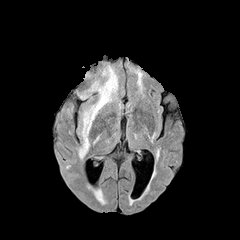
FLAIR magnetic resonance.
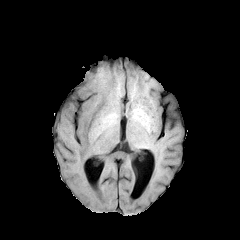
Same slice, T1-weighted MR image.
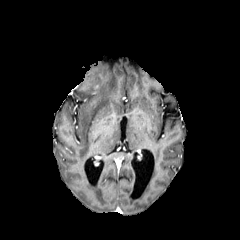
Post-contrast T1-weighted MR image of the same slice.
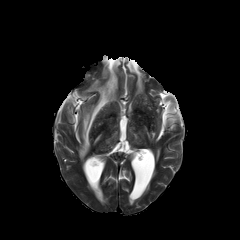
Same slice, T2-weighted magnetic resonance.
240x240 | Head
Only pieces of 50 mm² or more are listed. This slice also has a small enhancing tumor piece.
{
  "peritumoral_edema": [
    "box=[56, 103, 63, 128]",
    "box=[75, 64, 117, 157]"
  ]
}